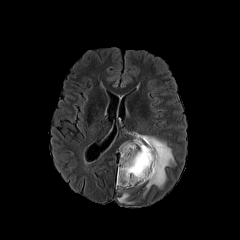
FLAIR magnetic resonance.
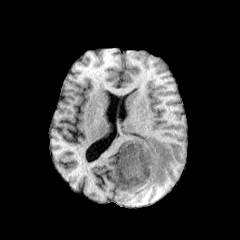
T1-weighted MR image.
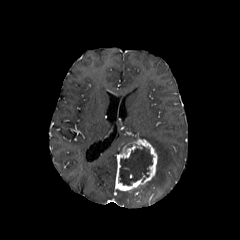
Post-contrast T1-weighted MR image of the same slice.
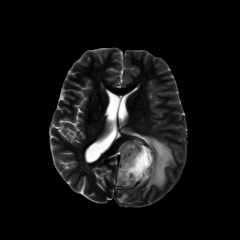
T2-weighted MR image.
Head | Axial view
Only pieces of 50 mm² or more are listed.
{"enhancing_tumor": ["l=116, t=136, r=157, b=190"], "peritumoral_edema": ["l=117, t=191, r=131, b=203", "l=133, t=135, r=175, b=195"], "necrotic_tumor_core": ["l=119, t=146, r=152, b=185"]}